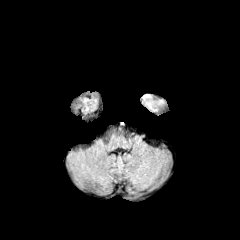
FLAIR MR image.
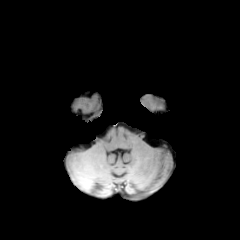
T1-weighted MRI.
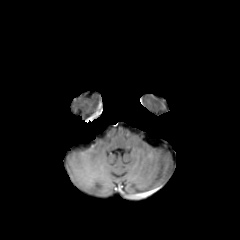
Post-contrast T1-weighted MRI of the same slice.
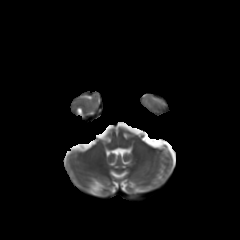
T2-weighted MR image.
Axial view | 240x240 px
Annotated regions:
• peritumoral edema: (142, 96, 163, 112)